Brain | Axial slice | Slice index 68
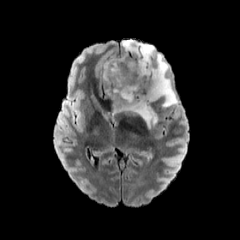
FLAIR MR.
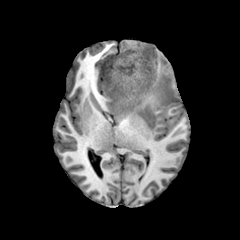
T1-weighted MR image of the same slice.
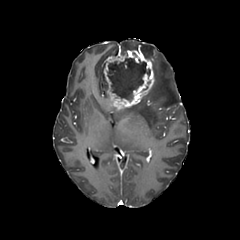
Same slice, post-contrast T1-weighted MR.
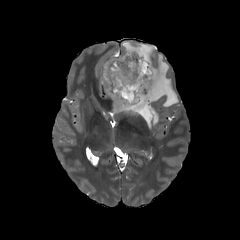
Same slice, T2-weighted magnetic resonance.
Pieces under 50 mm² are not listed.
Findings:
• necrotic tumor core: 107:58:149:99
• peritumoral edema: 121:53:178:128, 121:40:154:59
• enhancing tumor: 103:48:154:111